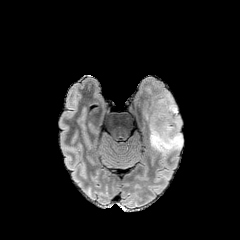
FLAIR MR image.
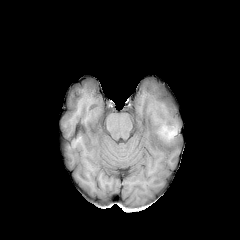
T1-weighted magnetic resonance.
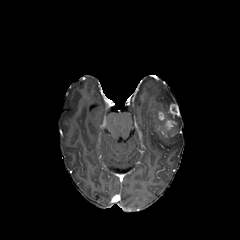
Post-contrast T1-weighted MRI of the same slice.
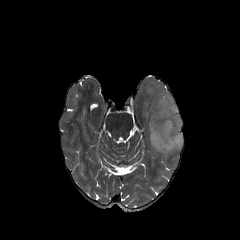
T2-weighted magnetic resonance.
Head. 240x240. Axial slice.
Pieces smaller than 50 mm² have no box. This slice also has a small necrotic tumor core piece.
{
  "peritumoral_edema": [
    "left=143, top=86, right=183, bottom=158"
  ],
  "enhancing_tumor": [
    "left=168, top=103, right=178, bottom=118",
    "left=158, top=111, right=176, bottom=130"
  ]
}